Brain. Image size 240x240.
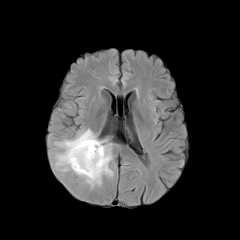
FLAIR magnetic resonance.
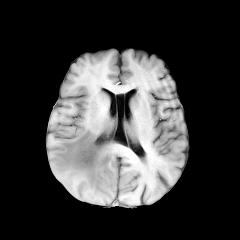
T1-weighted MRI.
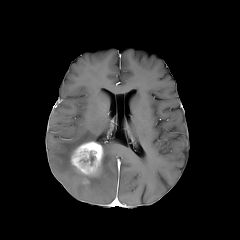
Post-contrast T1-weighted MR.
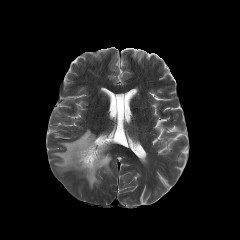
T2-weighted MR.
enhancing tumor at bbox=[70, 141, 103, 177]
necrotic tumor core at bbox=[84, 153, 96, 164]
peritumoral edema at bbox=[55, 129, 112, 188]